Image width 240 mm. Axial slice. Head.
FLAIR MR.
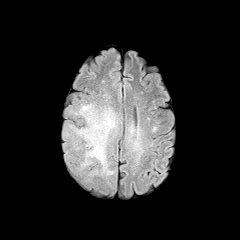
T1-weighted magnetic resonance.
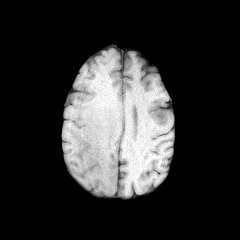
Post-contrast T1-weighted MR.
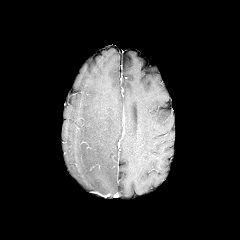
T2-weighted MRI.
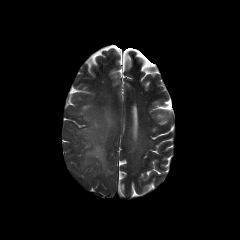
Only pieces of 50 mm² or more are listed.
peritumoral edema: bounding box (70, 103, 118, 177)